Brain; Image covers 240 mm x 240 mm; Slice index 60
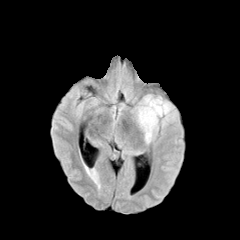
FLAIR MR.
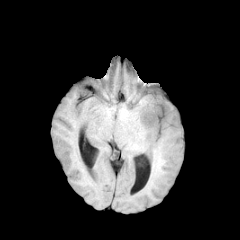
T1-weighted MRI.
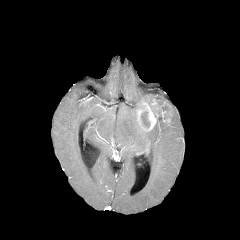
Post-contrast T1-weighted MR.
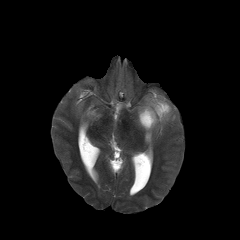
T2-weighted MR.
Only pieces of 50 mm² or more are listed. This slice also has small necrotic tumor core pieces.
peritumoral_edema:
  - left=138, top=96, right=173, bottom=121
  - left=137, top=111, right=161, bottom=142
enhancing_tumor:
  - left=138, top=100, right=169, bottom=130